FLAIR MR image.
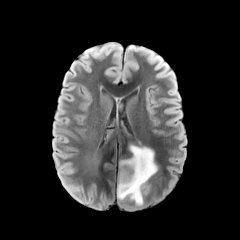
T1-weighted MR image.
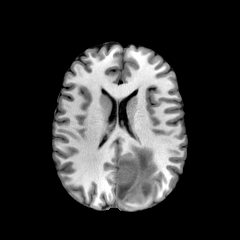
Post-contrast T1-weighted MR.
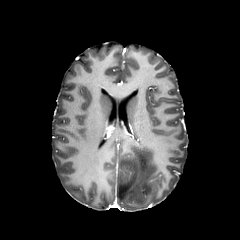
T2-weighted MR.
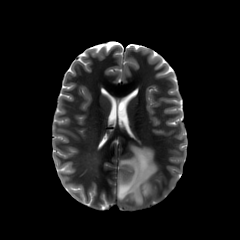
Brain | Axial slice
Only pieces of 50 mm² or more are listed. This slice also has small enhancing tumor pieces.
• necrotic tumor core: [x1=120, y1=153, x2=135, y2=182]
• peritumoral edema: [x1=117, y1=145, x2=157, y2=205]